FLAIR MR image.
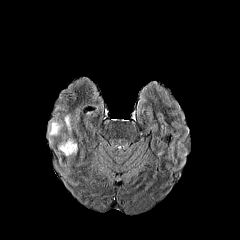
T1-weighted MR.
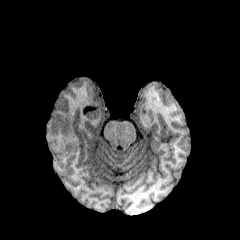
Post-contrast T1-weighted MR.
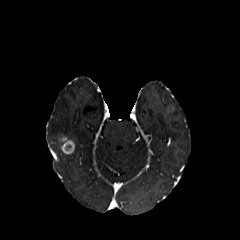
T2-weighted MR image.
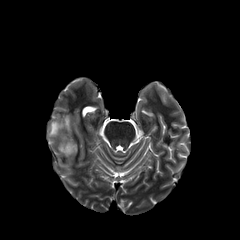
Brain, Axial slice
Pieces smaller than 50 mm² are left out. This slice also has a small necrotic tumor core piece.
The largest peritumoral edema region is bounded by bbox(48, 115, 72, 140). The enhancing tumor appears at bbox(60, 135, 75, 154).